Image covers 240 mm x 240 mm
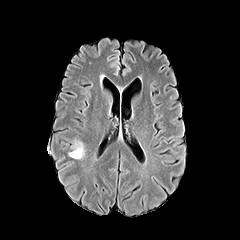
FLAIR MR image.
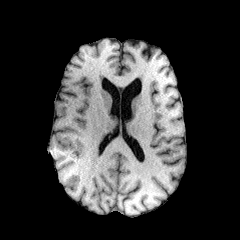
T1-weighted MR image.
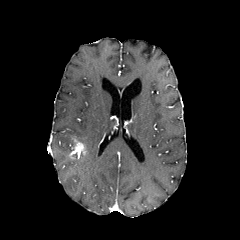
Same slice, post-contrast T1-weighted MR image.
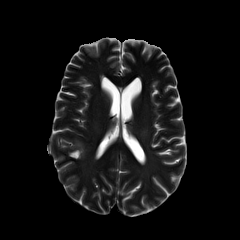
T2-weighted MR.
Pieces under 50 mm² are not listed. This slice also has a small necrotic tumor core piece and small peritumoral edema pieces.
{
  "enhancing_tumor": [
    "69,139,85,158"
  ]
}